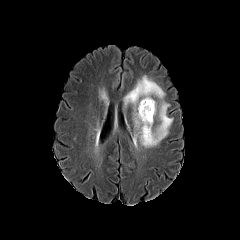
FLAIR MRI.
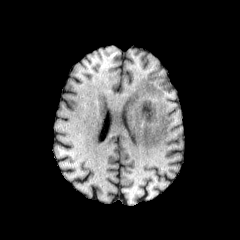
T1-weighted MR image.
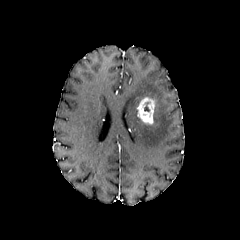
Post-contrast T1-weighted magnetic resonance.
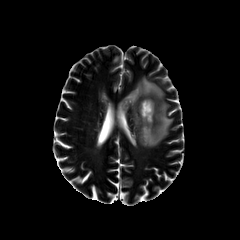
Same slice, T2-weighted MRI.
240x240 px | Brain
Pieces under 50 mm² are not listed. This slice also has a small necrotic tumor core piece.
The peritumoral edema is located at rect(124, 75, 173, 147). The enhancing tumor is at rect(137, 97, 155, 124).